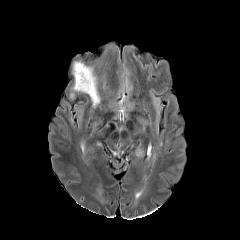
FLAIR MR image.
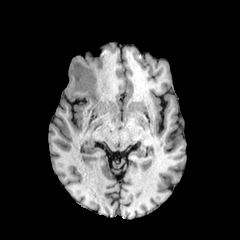
Same slice, T1-weighted MR image.
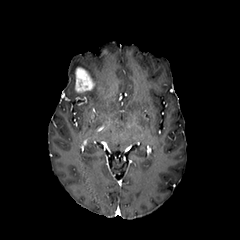
Post-contrast T1-weighted magnetic resonance.
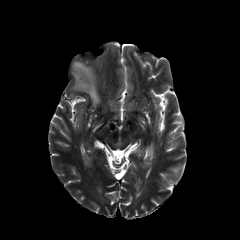
T2-weighted MR.
Head.
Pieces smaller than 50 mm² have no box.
The largest peritumoral edema region is bounded by [x1=73, y1=62, x2=99, y2=106]. The enhancing tumor lies within [x1=75, y1=67, x2=95, y2=92].